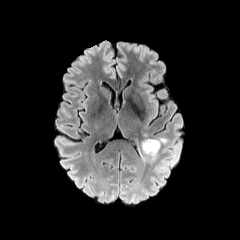
FLAIR magnetic resonance.
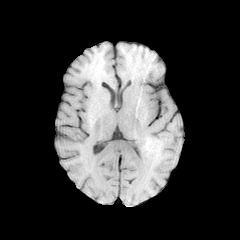
T1-weighted magnetic resonance of the same slice.
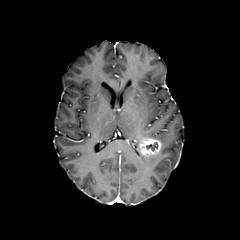
Post-contrast T1-weighted MR of the same slice.
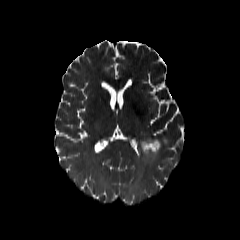
T2-weighted MR.
240x240 px
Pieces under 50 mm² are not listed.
Findings:
* necrotic tumor core: bbox=[146, 142, 157, 150]
* peritumoral edema: bbox=[141, 155, 157, 161]
* enhancing tumor: bbox=[138, 137, 161, 156]